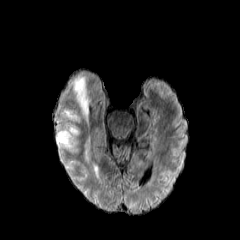
FLAIR MR.
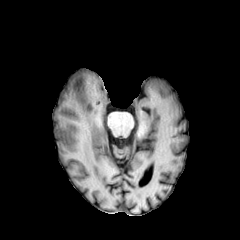
T1-weighted MR image.
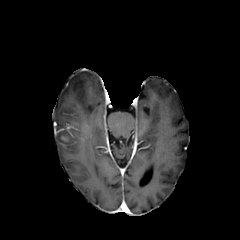
Post-contrast T1-weighted MR image.
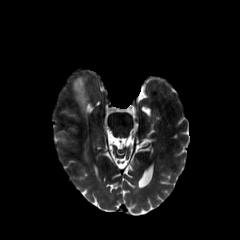
Same slice, T2-weighted MRI.
Axial slice | 240x240 px
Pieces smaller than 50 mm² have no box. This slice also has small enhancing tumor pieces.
The 3 largest peritumoral edema regions are bounded by <bbox>63, 110, 76, 119</bbox>, <bbox>73, 76, 88, 118</bbox>, <bbox>57, 128, 77, 147</bbox>.